240x240 px | Slice index 110
FLAIR magnetic resonance.
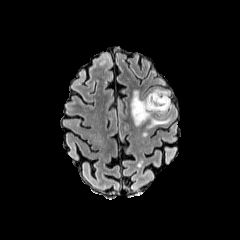
T1-weighted MR image.
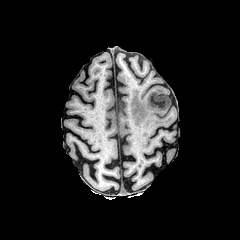
Post-contrast T1-weighted MR.
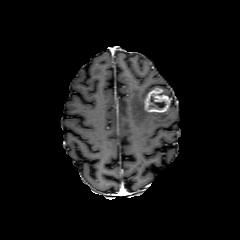
T2-weighted MR.
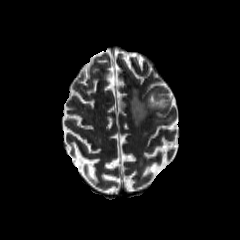
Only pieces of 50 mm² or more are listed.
peritumoral edema: bounding box <box>130,90,170,127</box>
necrotic tumor core: bounding box <box>147,93,166,109</box>
enhancing tumor: bounding box <box>144,88,170,112</box>